FLAIR MR image.
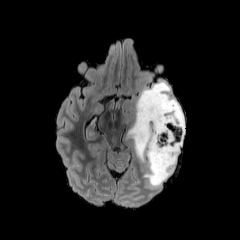
T1-weighted magnetic resonance.
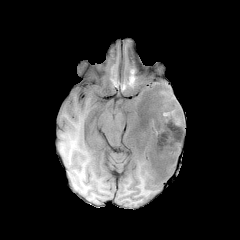
Post-contrast T1-weighted MR image.
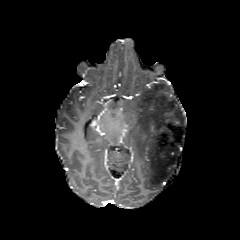
T2-weighted MR.
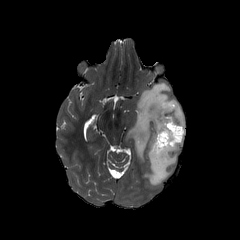
Axial slice
The peritumoral edema lies within left=128, top=81, right=184, bottom=186.